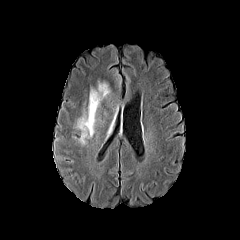
FLAIR MR image.
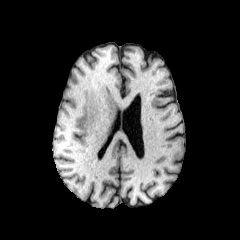
T1-weighted MR image.
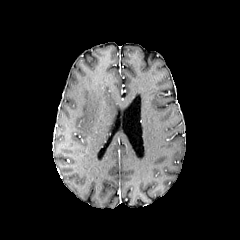
Post-contrast T1-weighted MR.
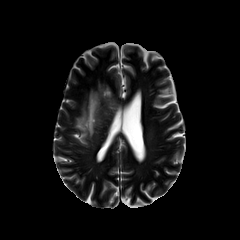
T2-weighted magnetic resonance of the same slice.
Head, Axial plane, 240x240
peritumoral edema: bbox=[99, 84, 108, 96]; bbox=[77, 90, 100, 138]